FLAIR MRI.
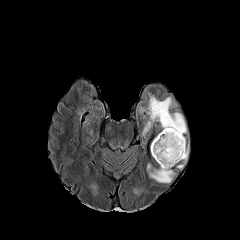
T1-weighted MR image.
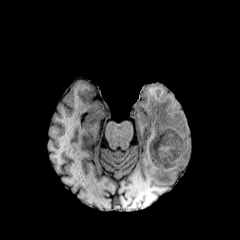
Post-contrast T1-weighted MR.
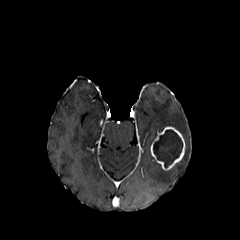
T2-weighted MR.
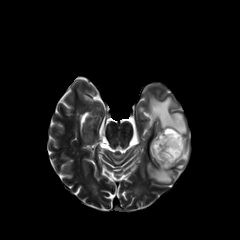
Axial plane
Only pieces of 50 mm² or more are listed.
The necrotic tumor core appears at [x1=153, y1=130, x2=182, y2=167]. The enhancing tumor appears at [x1=150, y1=127, x2=185, y2=170]. The 3 largest peritumoral edema regions appear at [x1=145, y1=162, x2=174, y2=183], [x1=142, y1=95, x2=187, y2=135], [x1=177, y1=144, x2=189, y2=169].